Brain; Slice index 73; 240x240 px
FLAIR MR.
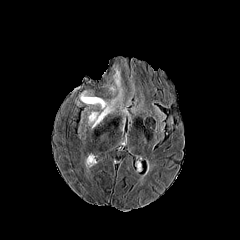
T1-weighted MRI.
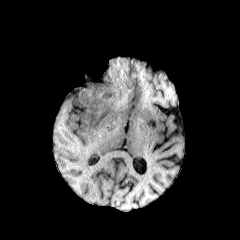
Post-contrast T1-weighted magnetic resonance.
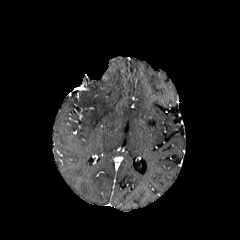
T2-weighted MR.
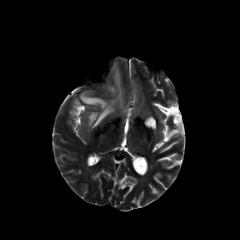
Annotated regions:
• peritumoral edema: x1=113, y1=69, x2=120, y2=86; x1=80, y1=92, x2=116, y2=128